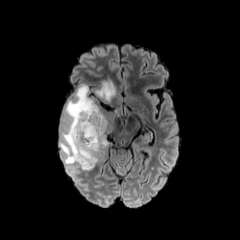
FLAIR magnetic resonance.
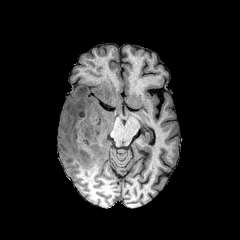
T1-weighted MRI of the same slice.
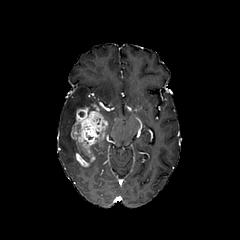
Same slice, post-contrast T1-weighted magnetic resonance.
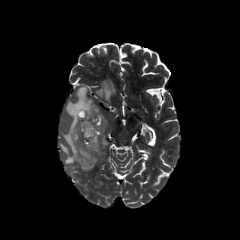
T2-weighted MR image.
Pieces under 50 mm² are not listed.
necrotic tumor core = (75, 135, 90, 162), (90, 144, 102, 154)
enhancing tumor = (70, 104, 108, 166)
peritumoral edema = (95, 78, 116, 103), (79, 156, 97, 170), (59, 84, 96, 164)